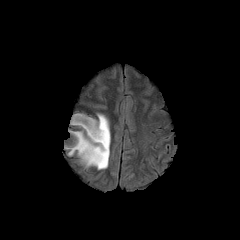
FLAIR MRI.
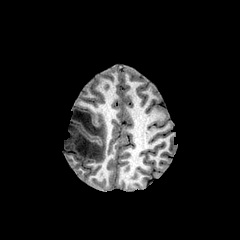
Same slice, T1-weighted magnetic resonance.
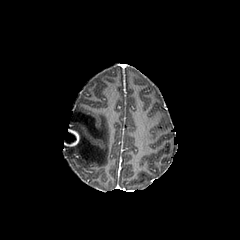
Same slice, post-contrast T1-weighted MR.
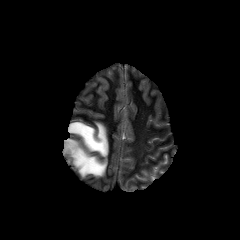
Same slice, T2-weighted MR image.
Brain, 240x240
The necrotic tumor core is bounded by 64 133 76 143. The enhancing tumor is bounded by 65 129 79 146. The peritumoral edema appears at 64 114 109 171.